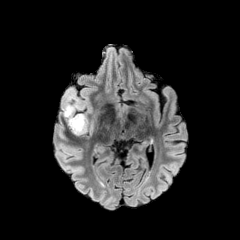
FLAIR MR.
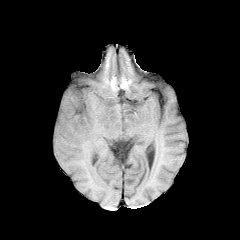
T1-weighted magnetic resonance.
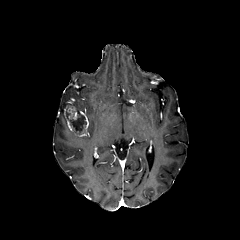
Same slice, post-contrast T1-weighted MR image.
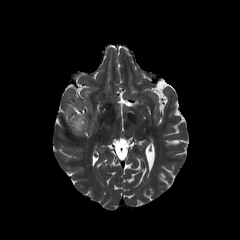
T2-weighted MR image.
Head
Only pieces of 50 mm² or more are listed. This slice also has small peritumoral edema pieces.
Segmented structures:
* necrotic tumor core: x1=69 y1=113 x2=86 y2=133
* enhancing tumor: x1=64 y1=101 x2=88 y2=136